Axial slice, Slice 66/155
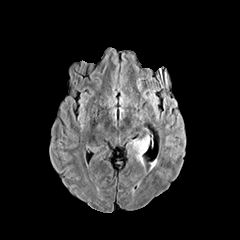
FLAIR MR image.
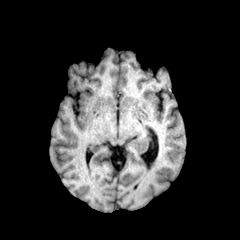
T1-weighted MR image.
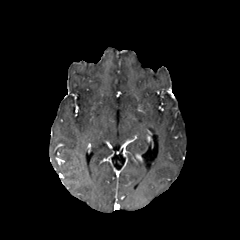
Post-contrast T1-weighted magnetic resonance.
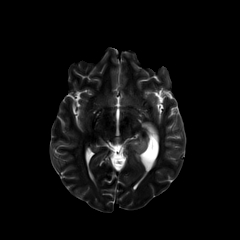
T2-weighted magnetic resonance.
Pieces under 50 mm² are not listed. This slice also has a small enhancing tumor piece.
Segmented structures:
• peritumoral edema: <box>131,139,147,155</box>